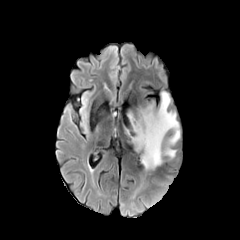
FLAIR magnetic resonance.
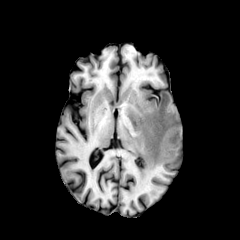
T1-weighted MR.
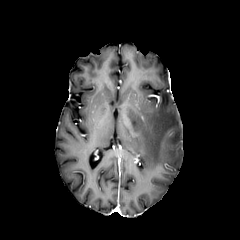
Post-contrast T1-weighted MR image of the same slice.
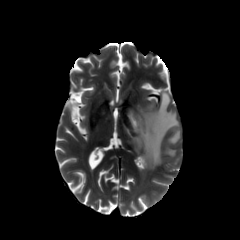
T2-weighted MRI.
peritumoral edema at l=125, t=91, r=180, b=170